FLAIR MR.
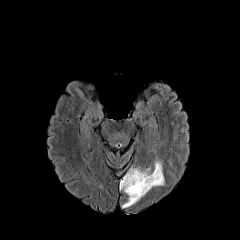
T1-weighted MR image.
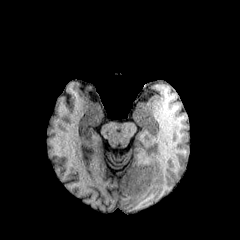
Post-contrast T1-weighted MRI.
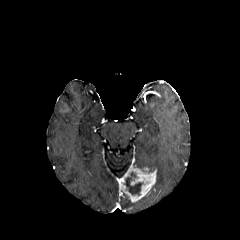
T2-weighted magnetic resonance.
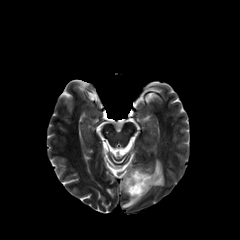
Head; Axial plane
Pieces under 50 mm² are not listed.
enhancing tumor: (x1=119, y1=165, x2=156, y2=202) | necrotic tumor core: (x1=125, y1=172, x2=142, y2=195) | peritumoral edema: (x1=153, y1=158, x2=164, y2=186), (x1=122, y1=199, x2=134, y2=207)